FLAIR MR.
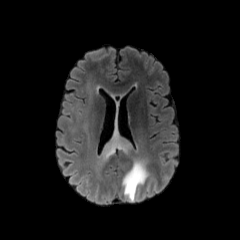
T1-weighted MRI.
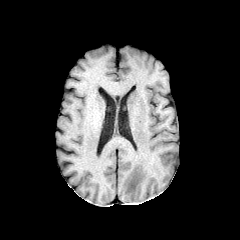
Post-contrast T1-weighted magnetic resonance.
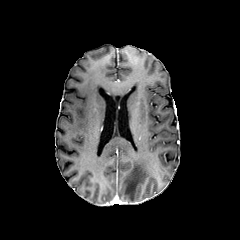
T2-weighted magnetic resonance.
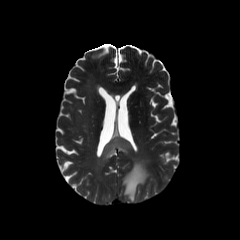
Axial plane, Image size 240x240, Head
2 peritumoral edema regions are bounded by (x1=102, y1=122, x2=130, y2=158), (x1=122, y1=158, x2=148, y2=201).